FLAIR magnetic resonance.
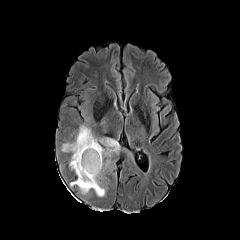
T1-weighted MRI.
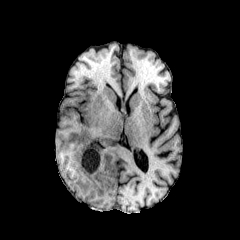
Post-contrast T1-weighted magnetic resonance.
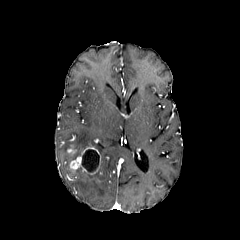
T2-weighted MR image.
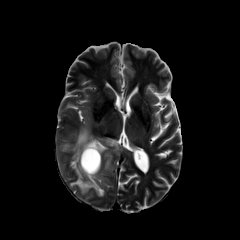
Head
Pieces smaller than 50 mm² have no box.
• peritumoral edema: <box>62,126,119,196</box>
• necrotic tumor core: <box>81,149,99,172</box>
• enhancing tumor: <box>70,144,100,174</box>